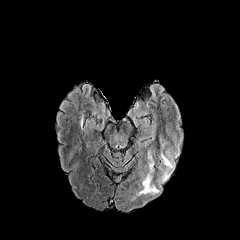
FLAIR MRI.
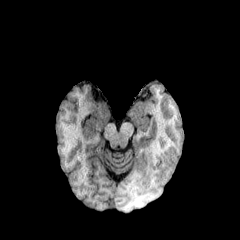
T1-weighted MR of the same slice.
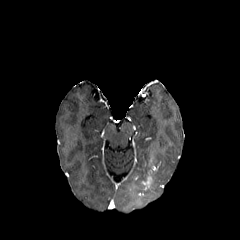
Post-contrast T1-weighted MR image.
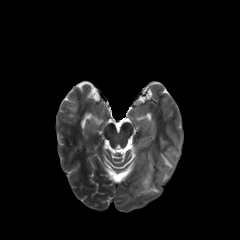
T2-weighted magnetic resonance of the same slice.
Axial plane | Head
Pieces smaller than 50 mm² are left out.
The 2 largest peritumoral edema regions are bounded by 140 183 159 194, 161 154 173 182. The largest enhancing tumor region lies within 140 170 152 190.